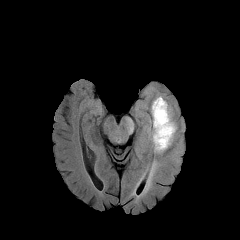
FLAIR MRI.
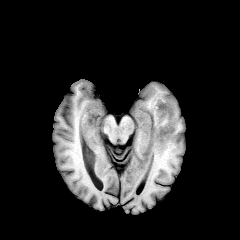
T1-weighted MR image of the same slice.
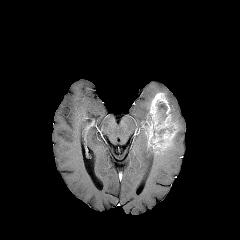
Post-contrast T1-weighted MR image.
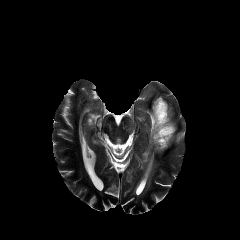
T2-weighted MR of the same slice.
Brain
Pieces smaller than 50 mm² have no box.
peritumoral_edema:
  - 144,100,166,191
  - 126,120,133,130
necrotic_tumor_core:
  - 158,127,172,134
  - 157,102,167,124
enhancing_tumor:
  - 145,93,177,152